240x240 | Axial slice | Slice index 64 | Head | Image width 240 mm
FLAIR MR image.
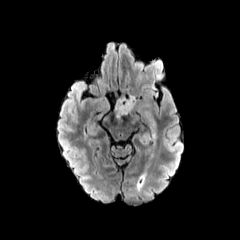
T1-weighted MR.
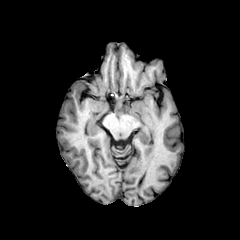
Post-contrast T1-weighted magnetic resonance.
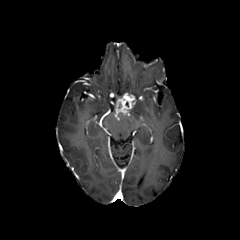
T2-weighted MR image.
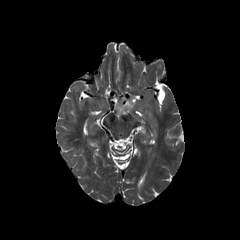
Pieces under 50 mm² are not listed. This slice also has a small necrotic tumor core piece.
- peritumoral edema: 141:132:148:143, 138:102:159:137
- enhancing tumor: 115:93:135:120